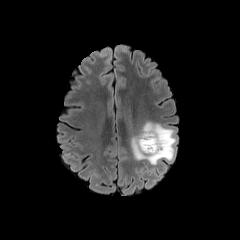
FLAIR MR image.
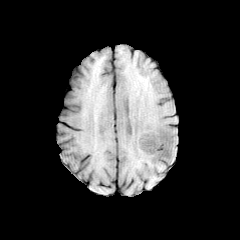
Same slice, T1-weighted MR.
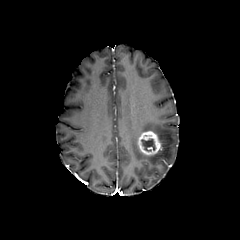
Same slice, post-contrast T1-weighted magnetic resonance.
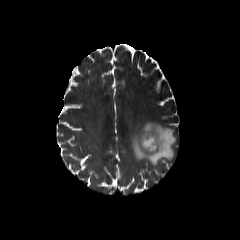
Same slice, T2-weighted MRI.
Brain | Axial view | 240x240
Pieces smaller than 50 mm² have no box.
necrotic_tumor_core:
  - 141:139:155:150
enhancing_tumor:
  - 137:131:162:155
peritumoral_edema:
  - 131:122:176:165